Axial view. Brain.
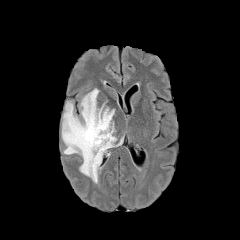
FLAIR magnetic resonance.
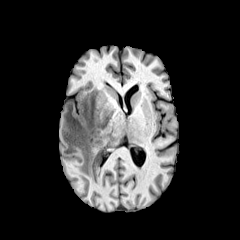
T1-weighted MRI.
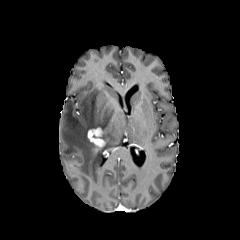
Post-contrast T1-weighted MR.
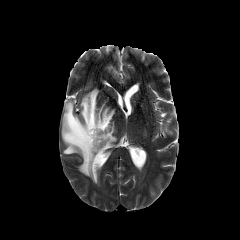
Same slice, T2-weighted MRI.
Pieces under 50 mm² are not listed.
{"peritumoral_edema": ["<bbox>62, 88, 122, 183</bbox>"], "enhancing_tumor": ["<bbox>87, 128, 105, 150</bbox>"]}